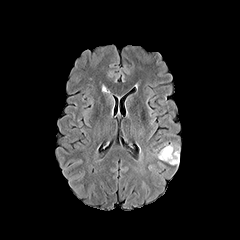
FLAIR MRI.
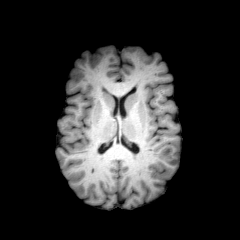
Same slice, T1-weighted MR image.
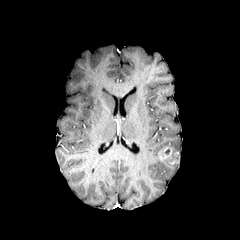
Post-contrast T1-weighted MR of the same slice.
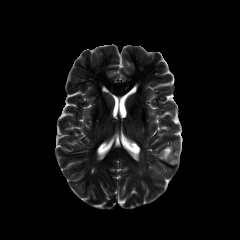
T2-weighted MR image.
Axial plane, Brain
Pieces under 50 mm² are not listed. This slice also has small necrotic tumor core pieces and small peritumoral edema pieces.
enhancing tumor: <bbox>159, 145, 173, 160</bbox>